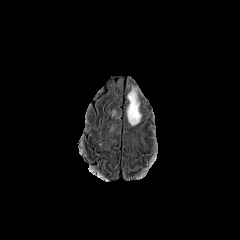
FLAIR magnetic resonance.
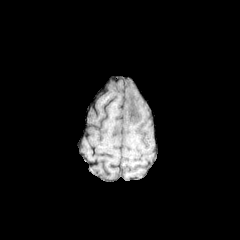
Same slice, T1-weighted MR image.
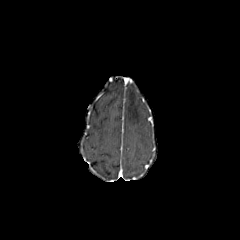
Same slice, post-contrast T1-weighted magnetic resonance.
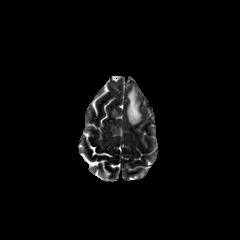
T2-weighted magnetic resonance.
Axial slice. Brain.
{
  "peritumoral_edema": [
    "[126,87,141,125]"
  ]
}